FLAIR MR image.
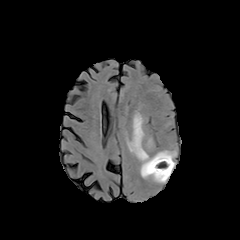
T1-weighted MR image.
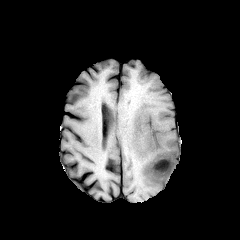
Post-contrast T1-weighted MR image.
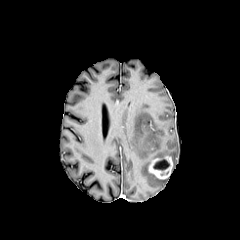
T2-weighted magnetic resonance.
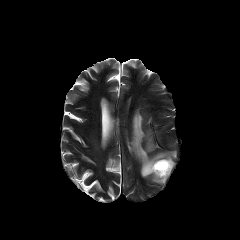
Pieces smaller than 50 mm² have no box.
{"peritumoral_edema": ["<box>127,112,176,183</box>"], "necrotic_tumor_core": ["<box>153,159,169,170</box>"], "enhancing_tumor": ["<box>148,156,173,179</box>"]}